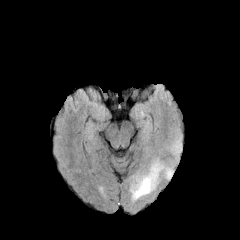
FLAIR MRI.
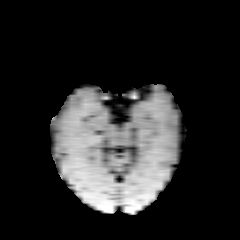
T1-weighted MR image.
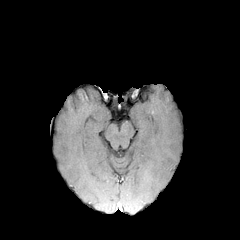
Post-contrast T1-weighted MR of the same slice.
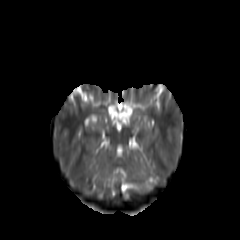
T2-weighted magnetic resonance.
Head.
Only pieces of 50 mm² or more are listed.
The largest peritumoral edema region appears at box=[130, 162, 160, 199].